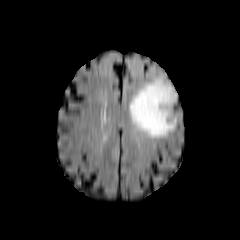
FLAIR magnetic resonance.
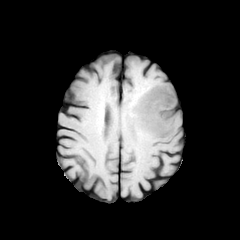
T1-weighted magnetic resonance.
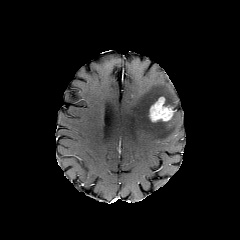
Post-contrast T1-weighted MR image of the same slice.
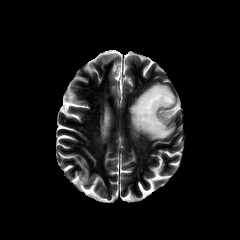
T2-weighted MR image of the same slice.
peritumoral edema: 129:80:176:139
enhancing tumor: 149:96:174:122